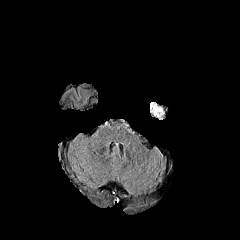
FLAIR magnetic resonance.
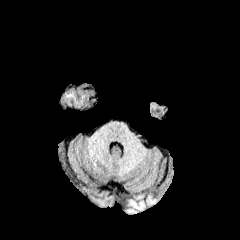
T1-weighted MR.
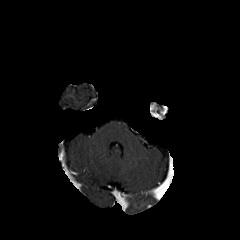
Post-contrast T1-weighted magnetic resonance.
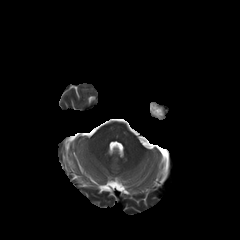
T2-weighted magnetic resonance of the same slice.
Axial view, Brain
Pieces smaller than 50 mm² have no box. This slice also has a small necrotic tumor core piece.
enhancing_tumor:
  - bbox=[150, 102, 166, 119]